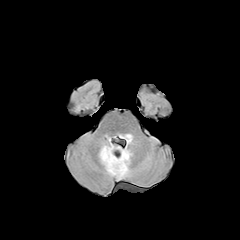
FLAIR MR image.
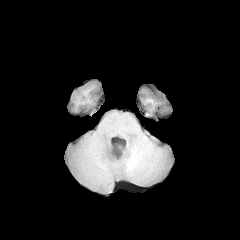
Same slice, T1-weighted MRI.
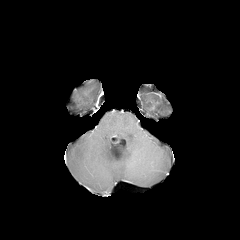
Post-contrast T1-weighted MRI.
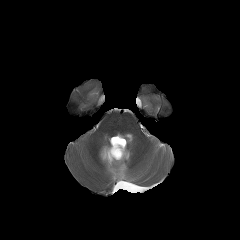
Same slice, T2-weighted MR.
Image size 240x240. Axial slice.
{
  "peritumoral_edema": [
    {"x1": 119, "y1": 134, "x2": 132, "y2": 143},
    {"x1": 99, "y1": 138, "x2": 131, "y2": 179}
  ]
}